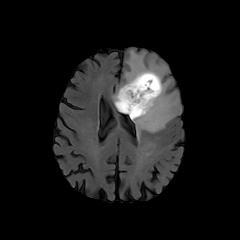
FLAIR MR.
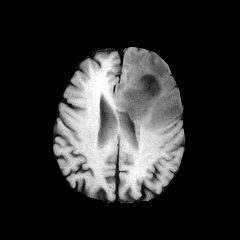
T1-weighted MR.
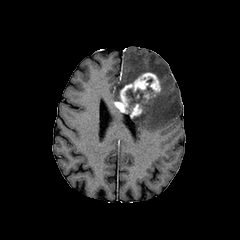
Post-contrast T1-weighted MRI.
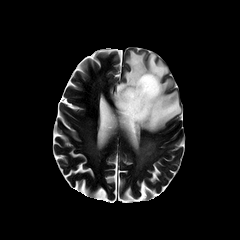
Same slice, T2-weighted MR image.
Brain. Axial plane. 240x240.
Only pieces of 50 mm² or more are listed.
necrotic tumor core: bounding box l=126, t=89, r=145, b=111
enhancing tumor: bounding box l=114, t=72, r=161, b=118
peritumoral edema: bounding box l=112, t=50, r=181, b=135